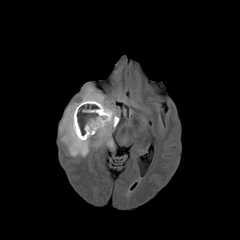
FLAIR MR.
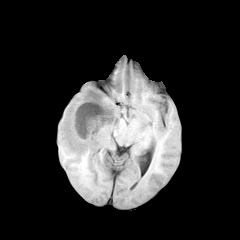
Same slice, T1-weighted MR image.
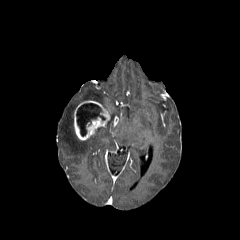
Post-contrast T1-weighted MR.
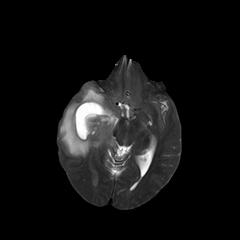
T2-weighted MRI.
Head
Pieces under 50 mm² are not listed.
Segmented structures:
- necrotic tumor core: {"x1": 76, "y1": 103, "x2": 105, "y2": 136}
- peritumoral edema: {"x1": 59, "y1": 84, "x2": 118, "y2": 156}
- enhancing tumor: {"x1": 74, "y1": 100, "x2": 110, "y2": 140}